Axial view | Slice index 57 | Image width 240 mm, 1.00 mm slice spacing
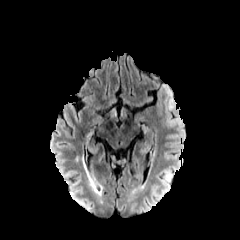
FLAIR MRI.
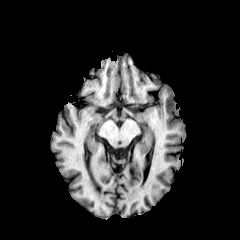
Same slice, T1-weighted MR.
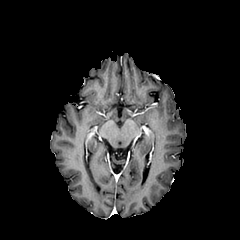
Post-contrast T1-weighted MR of the same slice.
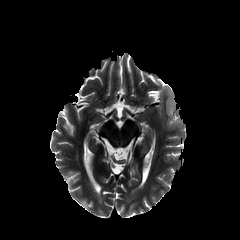
Same slice, T2-weighted MR.
The peritumoral edema is located at <bbox>158, 84, 179, 127</bbox>.